Axial view. Head. Slice 33/155.
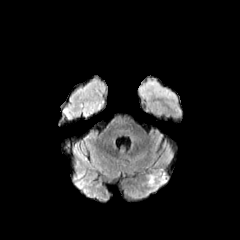
FLAIR MRI.
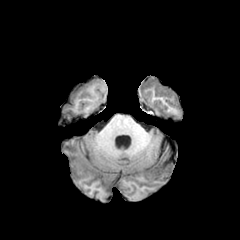
T1-weighted MR of the same slice.
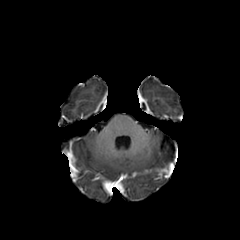
Same slice, post-contrast T1-weighted MRI.
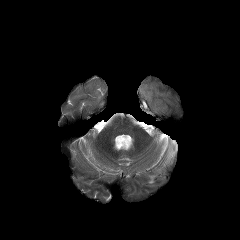
T2-weighted MR.
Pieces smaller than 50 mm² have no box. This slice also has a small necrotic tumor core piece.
The enhancing tumor is bounded by rect(152, 166, 169, 180). The largest peritumoral edema region is located at rect(147, 169, 166, 188).